Slice 75 of 155; Brain
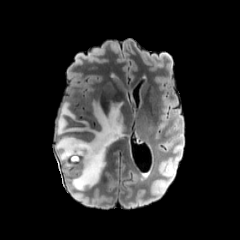
FLAIR MR image.
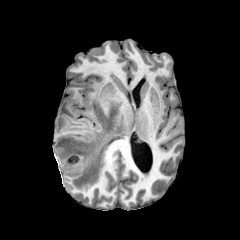
T1-weighted magnetic resonance.
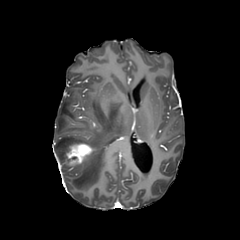
Post-contrast T1-weighted MR image.
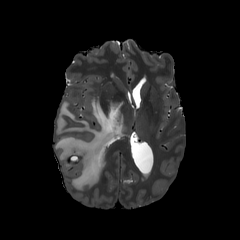
T2-weighted MRI.
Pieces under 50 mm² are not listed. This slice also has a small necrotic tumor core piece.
peritumoral edema: (55, 100, 124, 190) | enhancing tumor: (65, 143, 94, 164)